240x240 px; Brain; Axial view; Image covers 240 mm x 240 mm
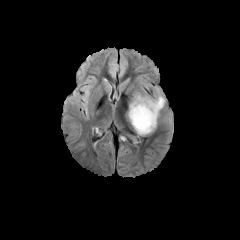
FLAIR MR.
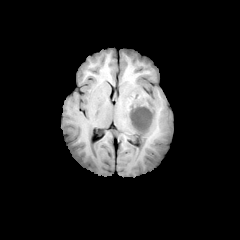
Same slice, T1-weighted MR image.
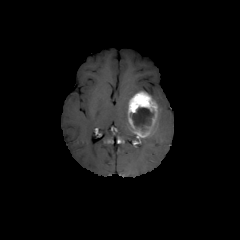
Post-contrast T1-weighted MR.
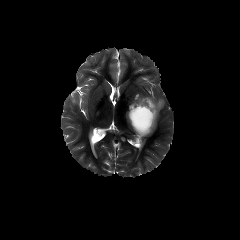
T2-weighted magnetic resonance.
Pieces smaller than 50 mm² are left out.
Findings:
• enhancing tumor: (127, 91, 158, 138)
• necrotic tumor core: (132, 108, 153, 127)
• peritumoral edema: (154, 95, 164, 115)